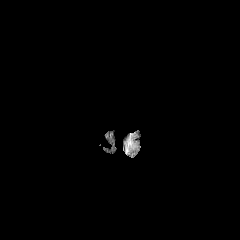
FLAIR MR.
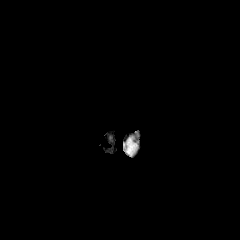
Same slice, T1-weighted MR image.
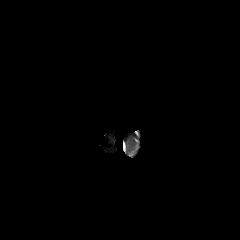
Post-contrast T1-weighted magnetic resonance of the same slice.
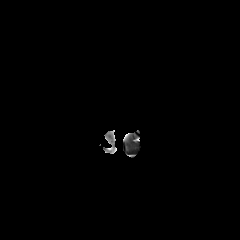
T2-weighted MR image.
Brain
Annotated regions:
• peritumoral edema: rect(127, 137, 135, 148)